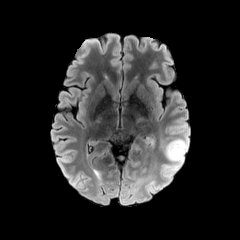
FLAIR MRI.
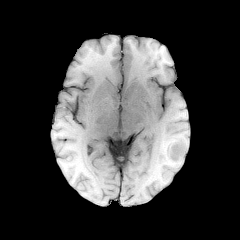
T1-weighted MR image of the same slice.
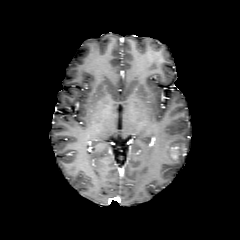
Post-contrast T1-weighted MR image of the same slice.
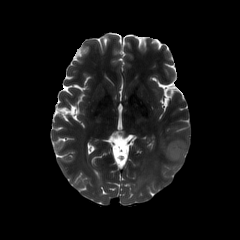
T2-weighted MR.
240x240 px.
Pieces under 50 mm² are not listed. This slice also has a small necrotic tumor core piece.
peritumoral edema: bounding box (161,132,189,177)
enhancing tumor: bounding box (169,143,185,160)